Slice 83 of 155
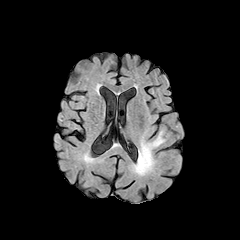
FLAIR MRI.
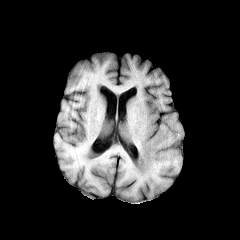
Same slice, T1-weighted magnetic resonance.
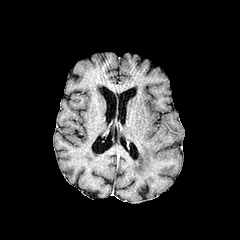
Post-contrast T1-weighted magnetic resonance.
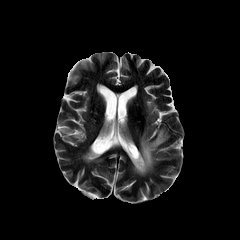
Same slice, T2-weighted MRI.
The peritumoral edema appears at <box>133,130,165,175</box>.